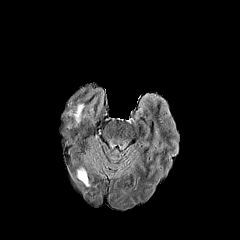
FLAIR MRI.
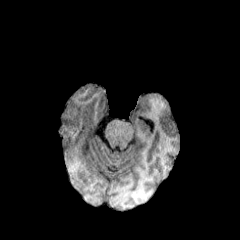
T1-weighted MR image of the same slice.
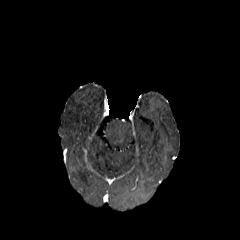
Post-contrast T1-weighted MR.
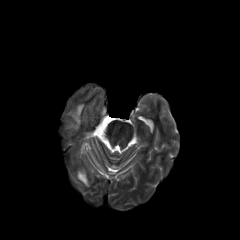
T2-weighted magnetic resonance of the same slice.
Brain
peritumoral_edema:
  - [77, 169, 89, 186]
  - [74, 104, 83, 121]